Axial slice, 240x240 px
FLAIR magnetic resonance.
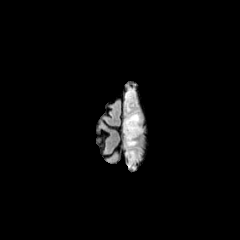
T1-weighted MR image.
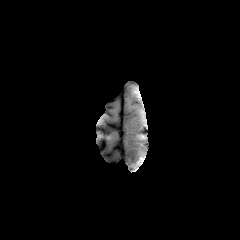
Post-contrast T1-weighted MR.
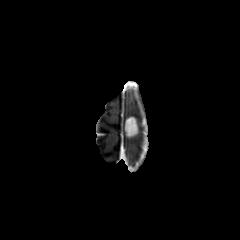
T2-weighted MRI.
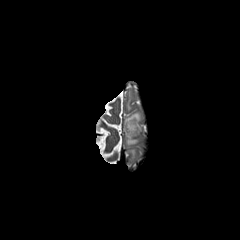
Annotated regions:
• peritumoral edema: 125:89:134:112, 124:111:141:164
• enhancing tumor: 125:117:138:137